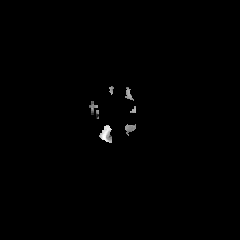
FLAIR MR image.
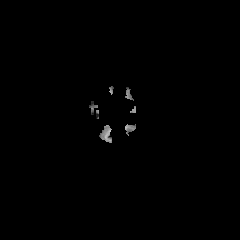
T1-weighted MR image.
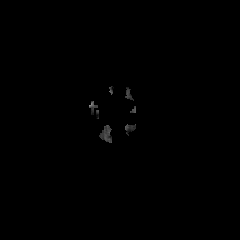
Same slice, post-contrast T1-weighted MRI.
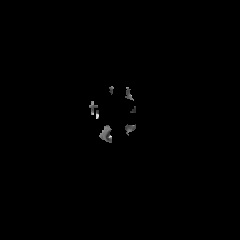
T2-weighted MRI.
Head | Image size 240x240
Annotated regions:
* peritumoral edema: region(99, 125, 110, 141)